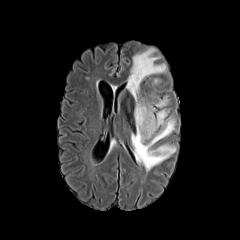
FLAIR MRI.
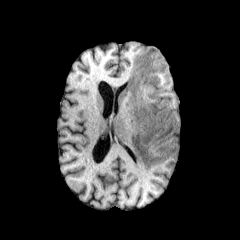
T1-weighted MR image.
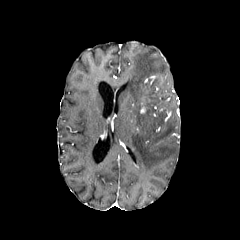
Post-contrast T1-weighted MRI of the same slice.
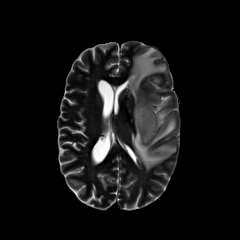
Same slice, T2-weighted MR image.
Brain | Image size 240x240 | Axial slice
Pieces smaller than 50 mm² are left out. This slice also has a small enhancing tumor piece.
peritumoral edema at rect(155, 96, 167, 107); rect(126, 48, 176, 171)